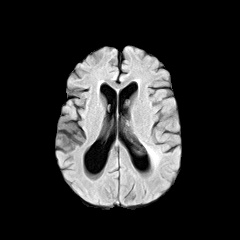
FLAIR MR.
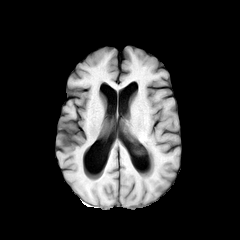
T1-weighted magnetic resonance of the same slice.
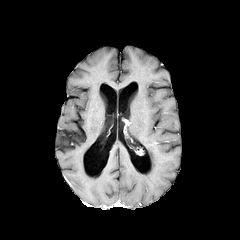
Post-contrast T1-weighted MR image of the same slice.
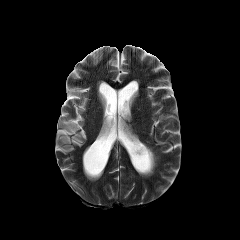
T2-weighted MRI of the same slice.
240x240. Brain.
The peritumoral edema appears at [143,143,159,166].